FLAIR MR.
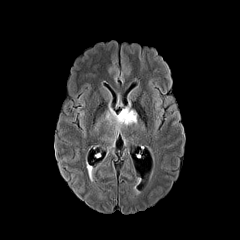
T1-weighted magnetic resonance.
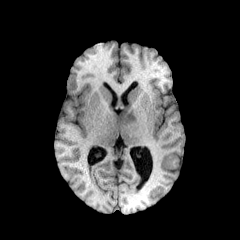
Post-contrast T1-weighted MR.
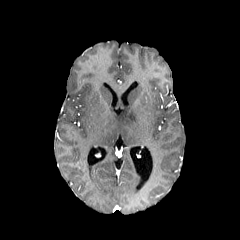
T2-weighted MRI.
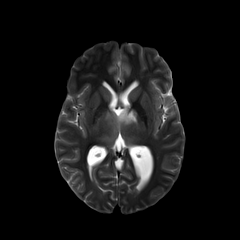
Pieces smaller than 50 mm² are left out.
{
  "peritumoral_edema": [
    "<bbox>101, 135, 114, 141</bbox>",
    "<bbox>105, 106, 137, 133</bbox>"
  ]
}